Brain. Axial view.
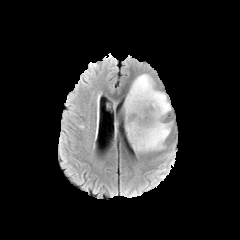
FLAIR MRI.
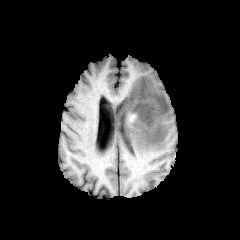
T1-weighted magnetic resonance.
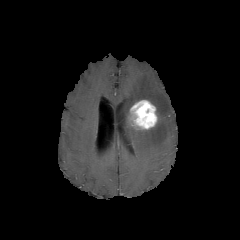
Post-contrast T1-weighted MRI.
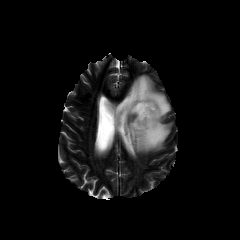
Same slice, T2-weighted MRI.
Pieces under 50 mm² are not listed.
The largest peritumoral edema region is bounded by box=[123, 74, 172, 152]. The enhancing tumor is located at box=[129, 99, 158, 130].